FLAIR MR.
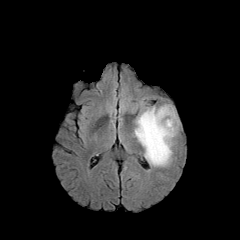
T1-weighted MRI.
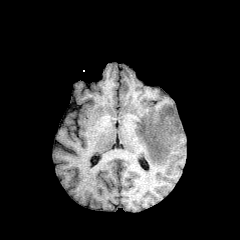
Post-contrast T1-weighted MR image.
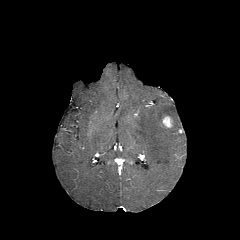
T2-weighted MRI.
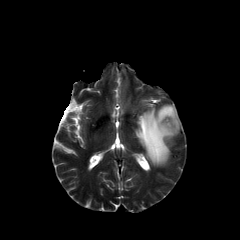
Axial plane
enhancing tumor: <box>162,115,173,128</box>
peritumoral edema: <box>134,104,179,166</box>